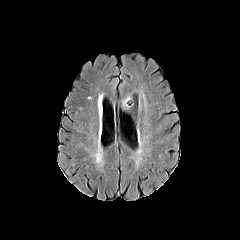
FLAIR MR image.
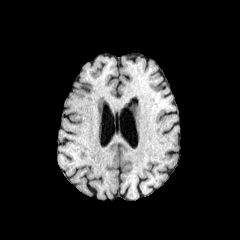
T1-weighted MR image.
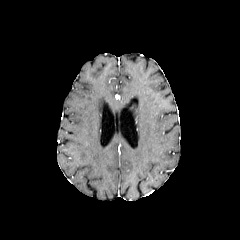
Post-contrast T1-weighted magnetic resonance.
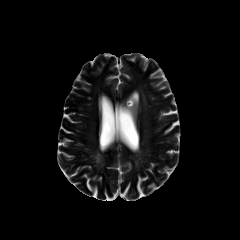
Same slice, T2-weighted magnetic resonance.
Head.
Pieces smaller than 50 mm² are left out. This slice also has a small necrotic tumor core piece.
peritumoral_edema:
  - box=[123, 97, 129, 107]